Axial view
FLAIR magnetic resonance.
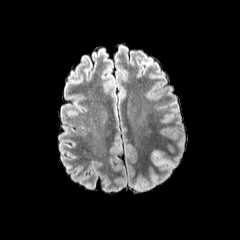
T1-weighted magnetic resonance.
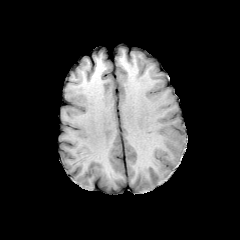
Post-contrast T1-weighted MR.
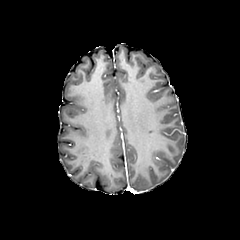
T2-weighted MR.
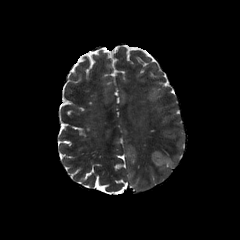
peritumoral edema = box(151, 151, 175, 169)